240x240 px | Head
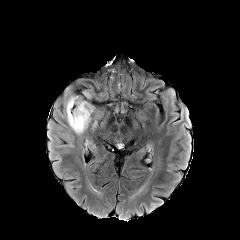
FLAIR MRI.
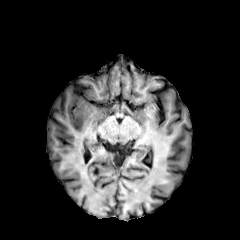
Same slice, T1-weighted MRI.
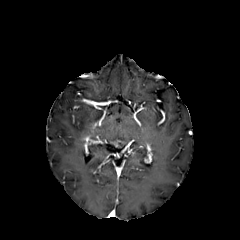
Post-contrast T1-weighted MR image.
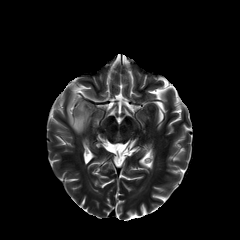
Same slice, T2-weighted MR image.
{
  "peritumoral_edema": [
    "bbox(66, 96, 93, 134)"
  ]
}